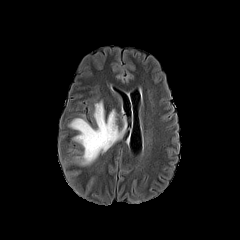
FLAIR MR image.
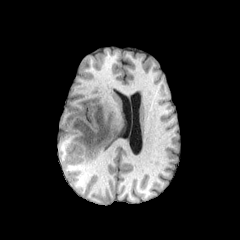
Same slice, T1-weighted magnetic resonance.
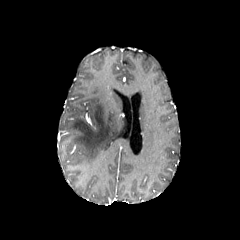
Same slice, post-contrast T1-weighted magnetic resonance.
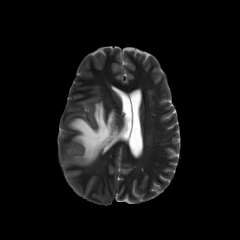
T2-weighted MRI of the same slice.
Image size 240x240; Head; Axial plane
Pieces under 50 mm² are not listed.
peritumoral edema at <box>69,101,126,164</box>